Head, Slice 109 of 155, Image size 240x240
FLAIR magnetic resonance.
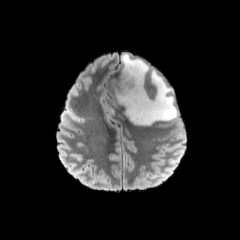
T1-weighted MR.
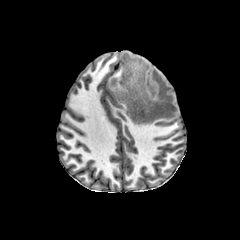
Post-contrast T1-weighted MR.
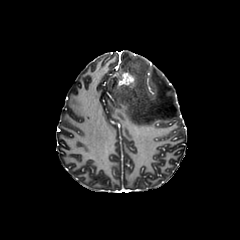
T2-weighted MRI.
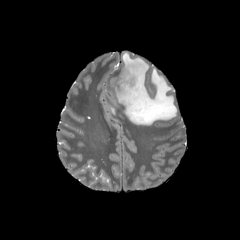
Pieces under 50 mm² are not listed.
peritumoral edema: (left=116, top=53, right=177, bottom=125) | enhancing tumor: (left=118, top=72, right=134, bottom=87)